Brain
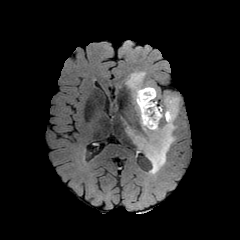
FLAIR magnetic resonance.
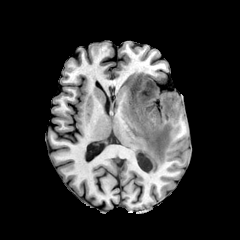
Same slice, T1-weighted MRI.
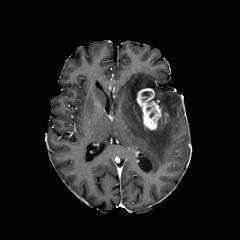
Post-contrast T1-weighted magnetic resonance.
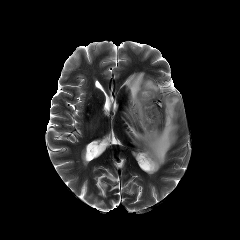
T2-weighted MR of the same slice.
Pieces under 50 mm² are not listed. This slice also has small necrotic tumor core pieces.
{
  "peritumoral_edema": [
    "[x1=124, y1=72, x2=179, y2=174]"
  ],
  "enhancing_tumor": [
    "[x1=136, y1=88, x2=161, y2=129]"
  ]
}